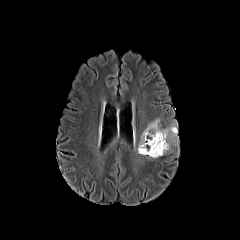
FLAIR magnetic resonance.
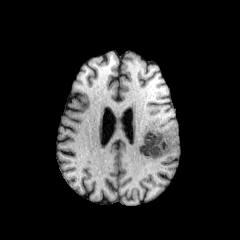
T1-weighted MRI.
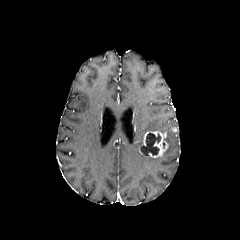
Post-contrast T1-weighted MRI.
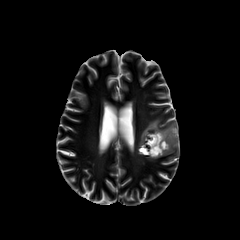
T2-weighted MR image.
Brain | Image size 240x240
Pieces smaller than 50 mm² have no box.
peritumoral edema = [x1=137, y1=119, x2=178, y2=154]
enhancing tumor = [x1=139, y1=131, x2=168, y2=157]
necrotic tumor core = [x1=140, y1=133, x2=160, y2=155]